Image size 240x240; Axial view
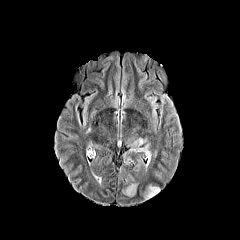
FLAIR MRI.
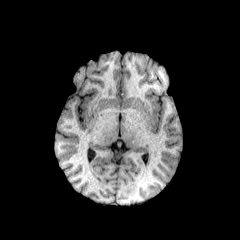
T1-weighted magnetic resonance.
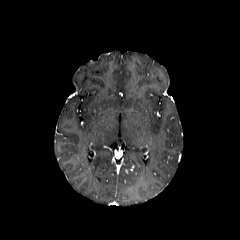
Post-contrast T1-weighted MR of the same slice.
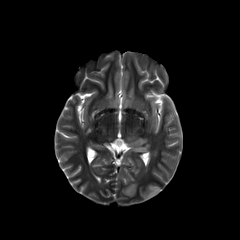
T2-weighted MRI.
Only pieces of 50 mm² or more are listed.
The 3 largest peritumoral edema regions appear at bbox(123, 184, 136, 196); bbox(147, 186, 159, 196); bbox(130, 138, 146, 152).